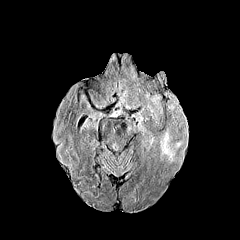
FLAIR magnetic resonance.
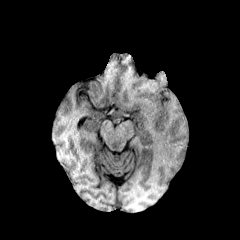
Same slice, T1-weighted MRI.
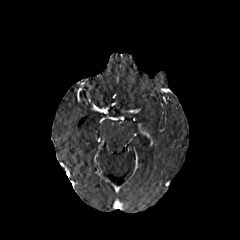
Post-contrast T1-weighted MR of the same slice.
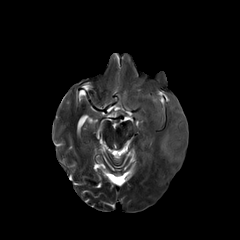
T2-weighted magnetic resonance of the same slice.
240x240 px.
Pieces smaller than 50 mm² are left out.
peritumoral edema: bounding box x1=161, y1=136, x2=171, y2=155